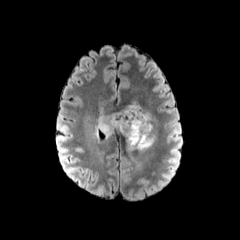
FLAIR MR.
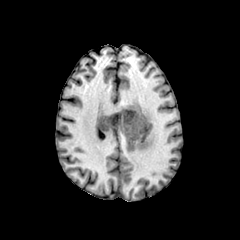
T1-weighted MR of the same slice.
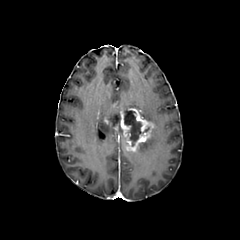
Same slice, post-contrast T1-weighted magnetic resonance.
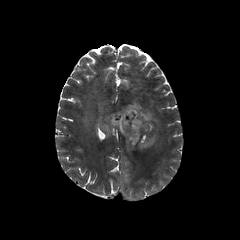
T2-weighted MRI.
Brain | Axial view
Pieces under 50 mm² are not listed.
The 2 largest necrotic tumor core regions appear at (x1=124, y1=110, x2=143, y2=145), (x1=109, y1=114, x2=120, y2=124). 3 peritumoral edema regions appear at (x1=137, y1=131, x2=156, y2=152), (x1=98, y1=114, x2=120, y2=137), (x1=125, y1=102, x2=153, y2=122). The enhancing tumor appears at (x1=105, y1=107, x2=153, y2=151).